Head. Axial view.
FLAIR magnetic resonance.
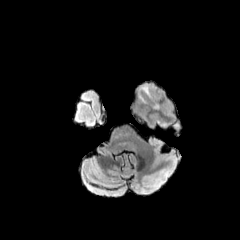
T1-weighted MR.
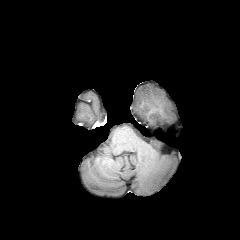
Post-contrast T1-weighted MR image.
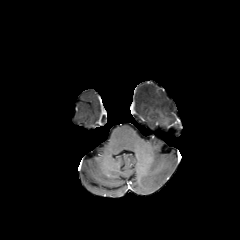
T2-weighted magnetic resonance.
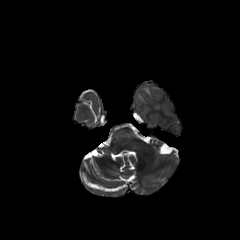
The peritumoral edema lies within 138 84 159 109.